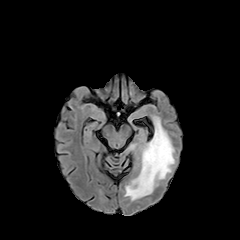
FLAIR MRI.
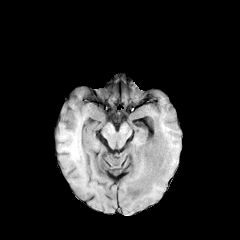
T1-weighted MR.
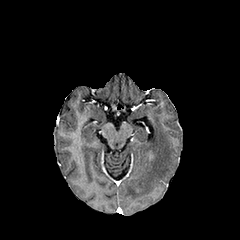
Post-contrast T1-weighted MRI of the same slice.
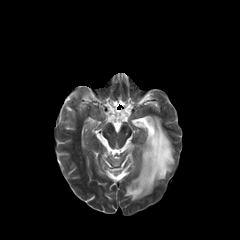
T2-weighted magnetic resonance of the same slice.
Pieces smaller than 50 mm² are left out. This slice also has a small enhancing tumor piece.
Segmented structures:
* peritumoral edema: box(124, 116, 174, 200)